Brain, Axial plane
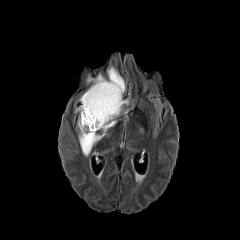
FLAIR MR.
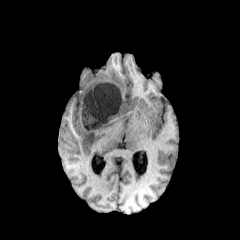
T1-weighted MR image of the same slice.
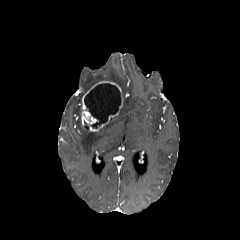
Same slice, post-contrast T1-weighted magnetic resonance.
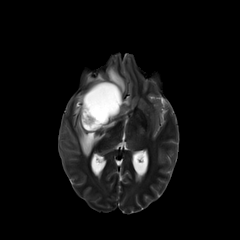
T2-weighted MRI.
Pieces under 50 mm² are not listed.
The 4 largest peritumoral edema regions appear at [107,66,125,93], [86,73,106,85], [118,107,129,115], [75,106,117,156]. The enhancing tumor is bounded by [81,81,123,131]. The largest necrotic tumor core region is bounded by [84,83,121,128].